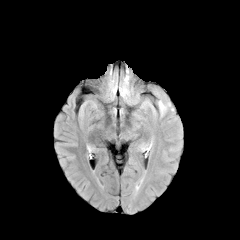
FLAIR MRI.
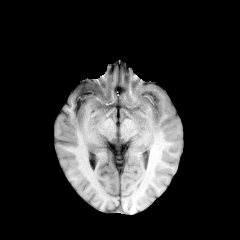
T1-weighted MR.
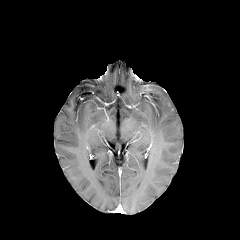
Post-contrast T1-weighted MRI.
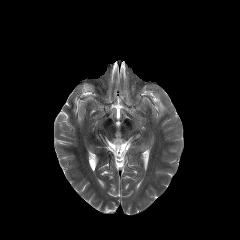
T2-weighted magnetic resonance.
Brain.
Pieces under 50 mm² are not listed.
Findings:
* peritumoral edema: box(157, 100, 170, 115)